FLAIR magnetic resonance.
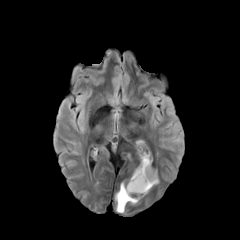
T1-weighted MR.
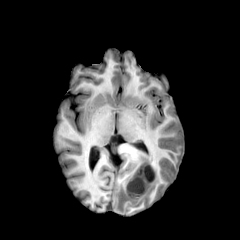
Post-contrast T1-weighted MRI.
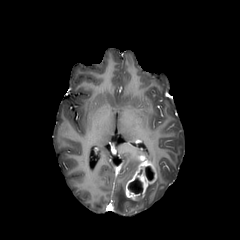
T2-weighted MR.
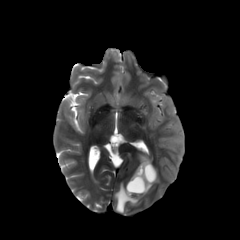
Head.
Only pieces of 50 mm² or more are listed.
* peritumoral edema: <box>145,178,158,193</box>, <box>115,184,138,212</box>
* necrotic tumor core: <box>145,166,154,180</box>, <box>128,178,142,196</box>
* enhancing tumor: <box>125,155,156,199</box>